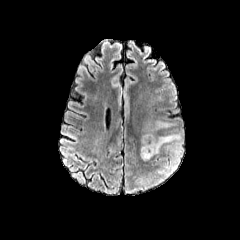
FLAIR MR image.
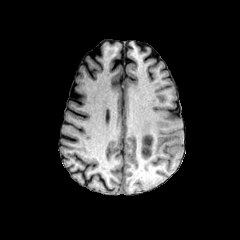
T1-weighted MR.
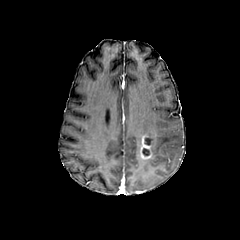
Post-contrast T1-weighted magnetic resonance.
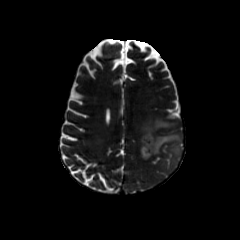
T2-weighted MRI.
Brain
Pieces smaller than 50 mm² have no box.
The largest necrotic tumor core region lies within region(142, 148, 149, 155). The 2 largest peritumoral edema regions are bounded by region(152, 132, 182, 170); region(143, 120, 175, 134). The enhancing tumor lies within region(140, 133, 155, 159).